FLAIR magnetic resonance.
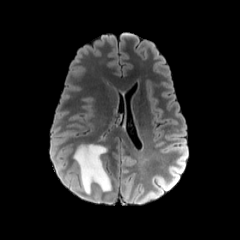
T1-weighted MRI.
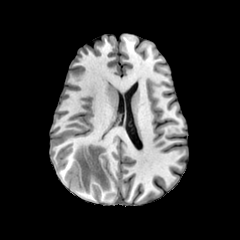
Post-contrast T1-weighted magnetic resonance.
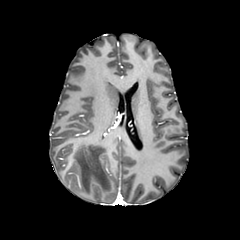
T2-weighted MRI.
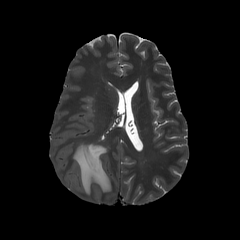
Brain | 240x240 | Axial view
{"peritumoral_edema": [{"x1": 74, "y1": 144, "x2": 111, "y2": 193}]}